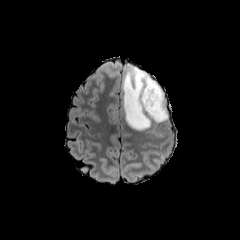
FLAIR MR image.
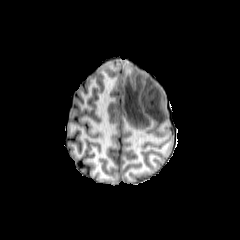
T1-weighted MR.
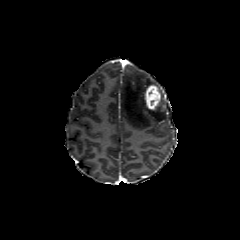
Post-contrast T1-weighted MRI of the same slice.
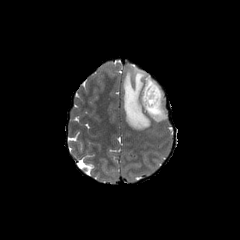
Same slice, T2-weighted MRI.
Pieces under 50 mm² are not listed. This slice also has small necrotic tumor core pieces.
enhancing tumor — (left=143, top=84, right=161, bottom=110)
peritumoral edema — (left=122, top=65, right=167, bottom=130)